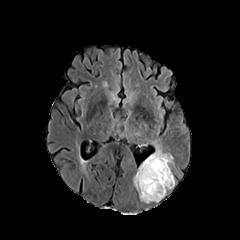
FLAIR MRI.
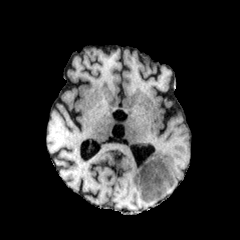
Same slice, T1-weighted magnetic resonance.
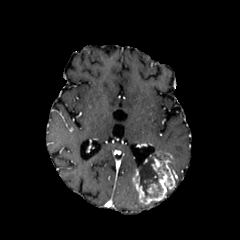
Post-contrast T1-weighted MR of the same slice.
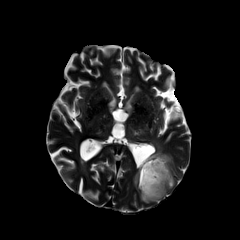
T2-weighted MRI.
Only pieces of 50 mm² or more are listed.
The largest enhancing tumor region lies within region(132, 153, 174, 204). The peritumoral edema appears at region(148, 140, 173, 165). The largest necrotic tumor core region is at region(139, 160, 162, 196).